Brain. Axial view. Slice index 42.
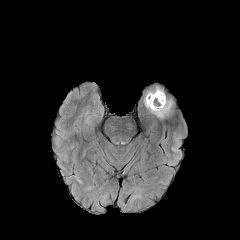
FLAIR MR.
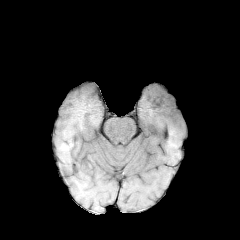
T1-weighted magnetic resonance.
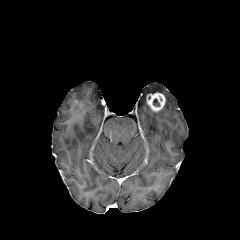
Post-contrast T1-weighted MRI of the same slice.
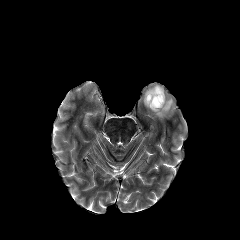
T2-weighted MR.
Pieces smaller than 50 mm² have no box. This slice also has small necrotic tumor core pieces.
- enhancing tumor: <bbox>146, 92, 165, 111</bbox>
- peritumoral edema: <bbox>144, 86, 172, 118</bbox>